Brain; Slice 40/155
FLAIR MR image.
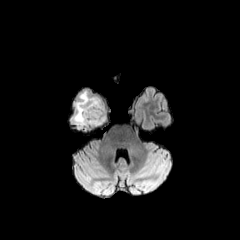
T1-weighted magnetic resonance.
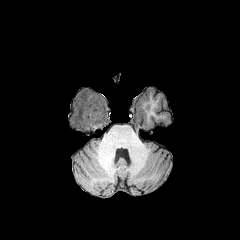
Post-contrast T1-weighted MR image.
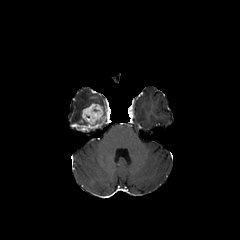
T2-weighted MR.
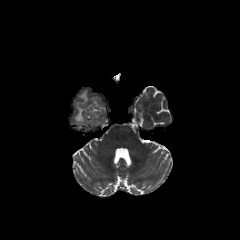
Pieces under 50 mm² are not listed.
Segmented structures:
* necrotic tumor core: (88, 117, 102, 125)
* peritumoral edema: (71, 90, 106, 125)
* enhancing tumor: (73, 103, 105, 133)